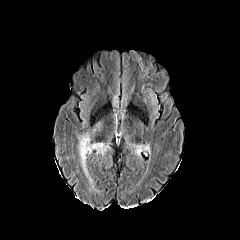
FLAIR magnetic resonance.
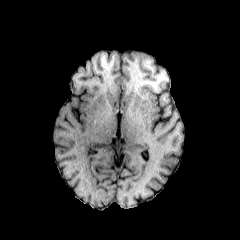
T1-weighted magnetic resonance of the same slice.
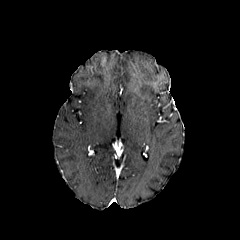
Same slice, post-contrast T1-weighted magnetic resonance.
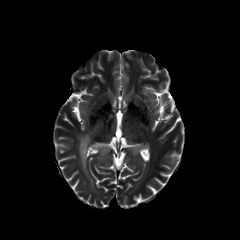
T2-weighted MRI.
Axial slice. Head.
3 peritumoral edema regions are bounded by [133, 145, 144, 155], [92, 143, 107, 154], [78, 122, 101, 175].